FLAIR MRI.
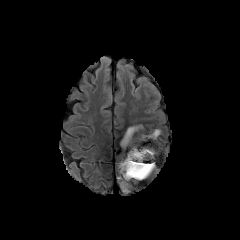
T1-weighted MRI.
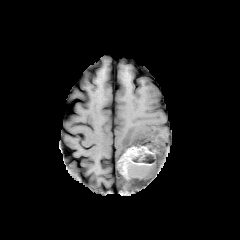
Post-contrast T1-weighted MR.
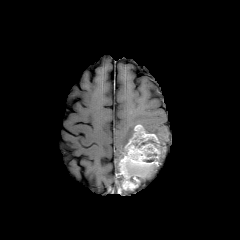
T2-weighted magnetic resonance.
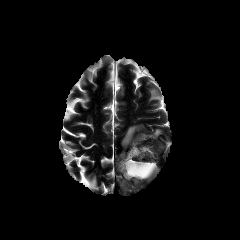
240x240 px, Axial view
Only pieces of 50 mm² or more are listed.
The 2 largest necrotic tumor core regions are bounded by bbox=[127, 161, 156, 181]; bbox=[139, 139, 157, 147]. The enhancing tumor appears at bbox=[119, 124, 160, 189]. The 2 largest peritumoral edema regions are bounded by bbox=[148, 129, 161, 137]; bbox=[120, 125, 135, 147].